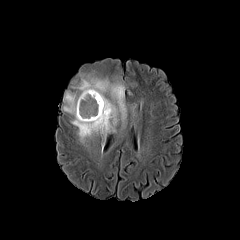
FLAIR MR.
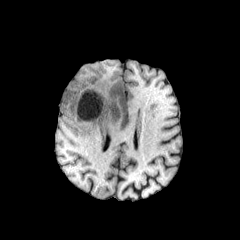
T1-weighted MR of the same slice.
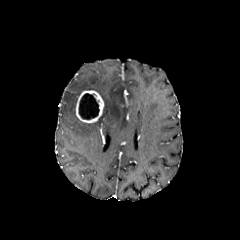
Post-contrast T1-weighted magnetic resonance.
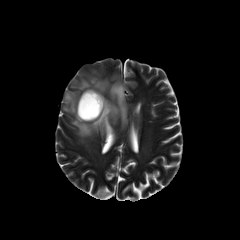
Same slice, T2-weighted MR.
peritumoral edema: 62:66:126:140 | enhancing tumor: 75:90:104:122 | necrotic tumor core: 79:93:99:119